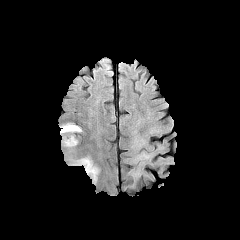
FLAIR MR.
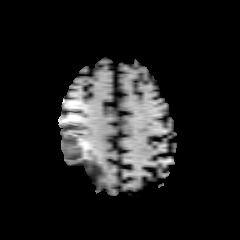
Same slice, T1-weighted magnetic resonance.
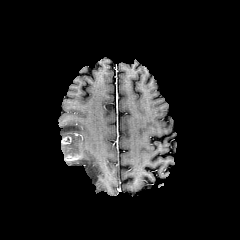
Post-contrast T1-weighted MR.
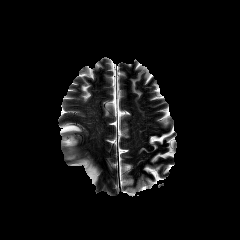
Same slice, T2-weighted MR image.
Brain. 240x240 px.
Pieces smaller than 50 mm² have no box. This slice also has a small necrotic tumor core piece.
enhancing tumor: region(64, 154, 81, 160); region(61, 136, 71, 145) | peritumoral edema: region(62, 135, 77, 155); region(68, 157, 99, 183); region(60, 123, 81, 136)